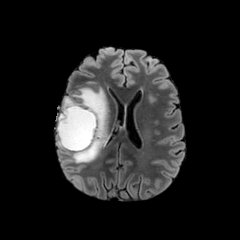
FLAIR MRI.
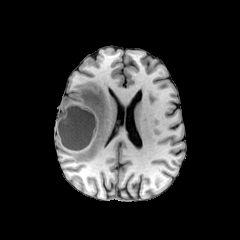
Same slice, T1-weighted MR.
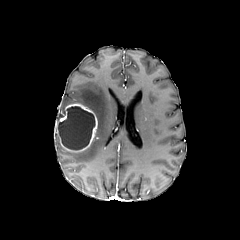
Post-contrast T1-weighted MRI.
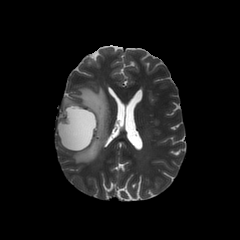
Same slice, T2-weighted MR image.
240x240.
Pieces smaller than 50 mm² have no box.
The 2 largest peritumoral edema regions appear at left=57, top=87, right=108, bottom=163; left=57, top=96, right=78, bottom=120. The enhancing tumor is located at left=56, top=103, right=97, bottom=152. The necrotic tumor core is located at left=58, top=106, right=95, bottom=149.